Brain; Image width 240 mm
FLAIR MR image.
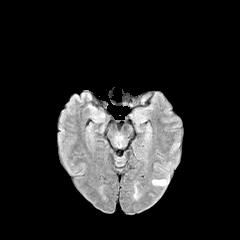
T1-weighted MR image.
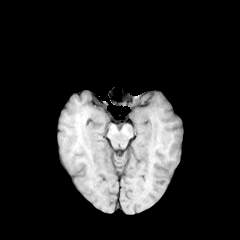
Post-contrast T1-weighted MR image.
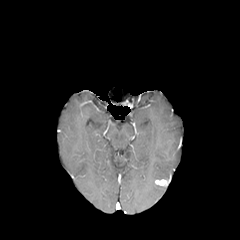
T2-weighted MR.
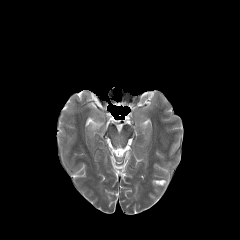
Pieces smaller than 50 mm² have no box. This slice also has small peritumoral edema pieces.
Segmented structures:
• enhancing tumor: left=152, top=179, right=167, bottom=186